FLAIR MR.
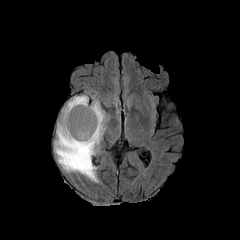
T1-weighted magnetic resonance.
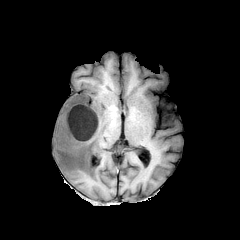
Post-contrast T1-weighted MR image.
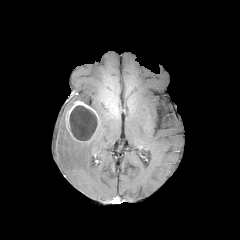
T2-weighted MR.
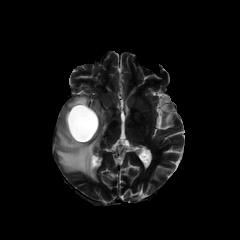
Head; 240x240 px; Axial slice
necrotic tumor core: bounding box {"x1": 69, "y1": 105, "x2": 97, "y2": 141}
enhancing tumor: bounding box {"x1": 65, "y1": 100, "x2": 99, "y2": 142}
peritumoral edema: bounding box {"x1": 54, "y1": 95, "x2": 105, "y2": 182}